Axial slice; Head
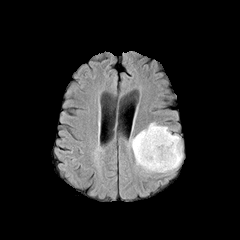
FLAIR MR.
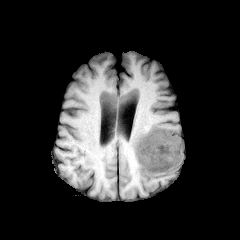
T1-weighted MRI of the same slice.
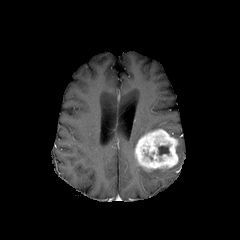
Post-contrast T1-weighted MR image.
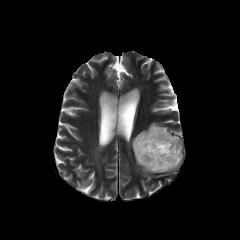
T2-weighted MR of the same slice.
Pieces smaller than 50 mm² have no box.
peritumoral edema: 130 123 182 172 | necrotic tumor core: 158 146 169 155 | enhancing tumor: 134 129 178 171